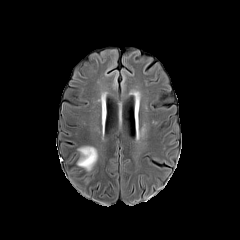
FLAIR magnetic resonance.
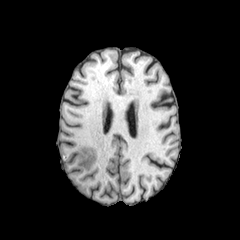
T1-weighted MR image.
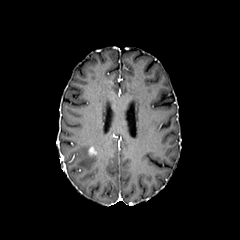
Post-contrast T1-weighted MR.
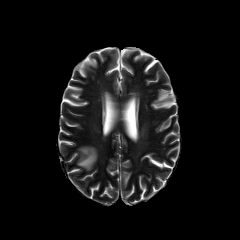
T2-weighted MR.
Axial view. 240x240.
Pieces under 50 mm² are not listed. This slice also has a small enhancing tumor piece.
peritumoral edema — (77,146,97,171)